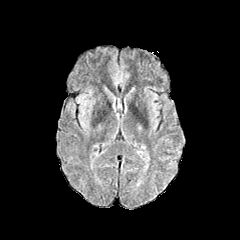
FLAIR MRI.
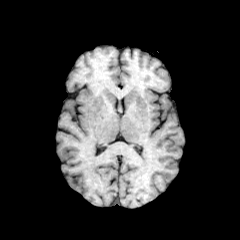
T1-weighted MR image.
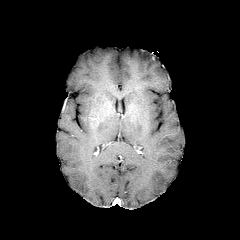
Post-contrast T1-weighted magnetic resonance of the same slice.
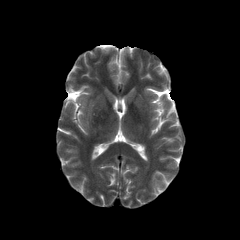
T2-weighted MR.
Axial view
peritumoral_edema:
  - (left=80, top=96, right=88, bottom=115)